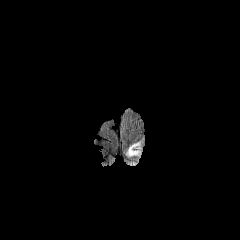
FLAIR magnetic resonance.
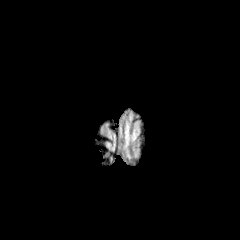
T1-weighted magnetic resonance.
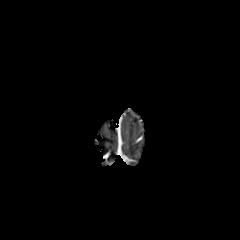
Post-contrast T1-weighted MRI.
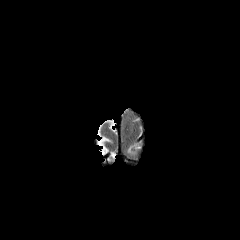
Same slice, T2-weighted MRI.
240x240. Axial view.
peritumoral edema = rect(124, 138, 144, 157)